FLAIR MRI.
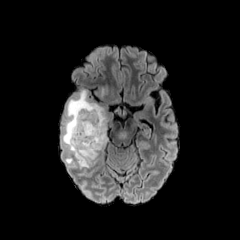
T1-weighted magnetic resonance.
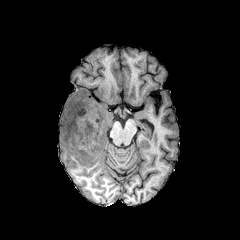
Post-contrast T1-weighted MR.
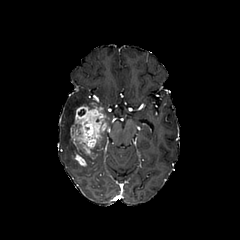
T2-weighted MR image.
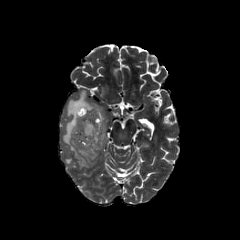
Head | Axial slice | 240x240
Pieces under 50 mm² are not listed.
The enhancing tumor is at (69, 103, 107, 166). The largest necrotic tumor core region is bounded by (75, 140, 89, 161). The 2 largest peritumoral edema regions appear at (62, 89, 99, 154), (101, 87, 108, 95).